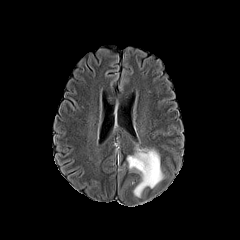
FLAIR MR.
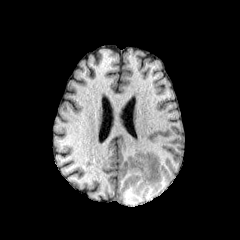
T1-weighted MR of the same slice.
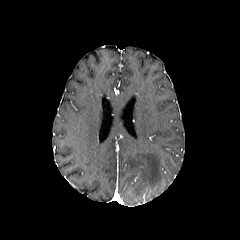
Same slice, post-contrast T1-weighted magnetic resonance.
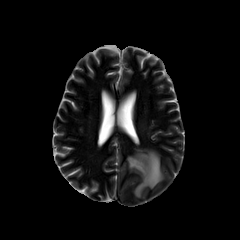
Same slice, T2-weighted MR image.
Axial view
Annotated regions:
* peritumoral edema: (left=127, top=147, right=163, bottom=197)